Image covers 240 mm x 240 mm | Axial slice
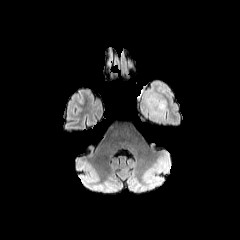
FLAIR MR.
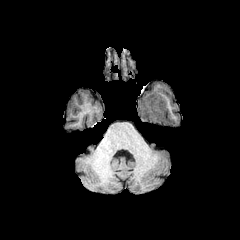
T1-weighted MR of the same slice.
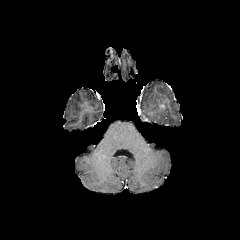
Post-contrast T1-weighted MRI.
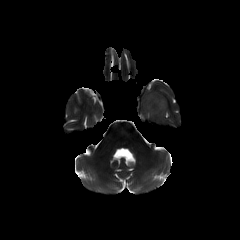
T2-weighted MR.
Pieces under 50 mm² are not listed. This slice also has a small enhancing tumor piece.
Annotated regions:
• peritumoral edema: box=[139, 91, 166, 122]